Axial plane.
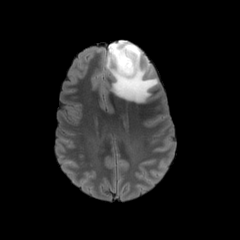
FLAIR MR.
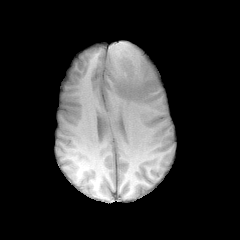
T1-weighted MR image.
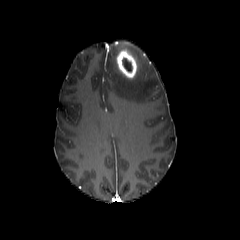
Post-contrast T1-weighted magnetic resonance of the same slice.
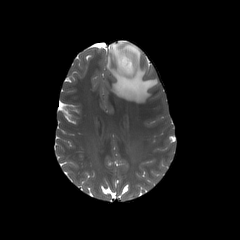
T2-weighted MRI.
* peritumoral edema: [x1=105, y1=40, x2=158, y2=103]
* enhancing tumor: [x1=116, y1=49, x2=138, y2=80]
* necrotic tumor core: [x1=122, y1=58, x2=132, y2=71]